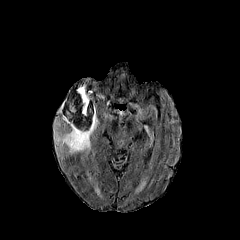
FLAIR MR image.
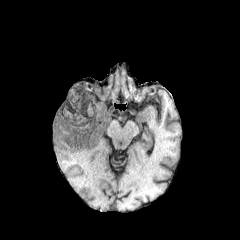
T1-weighted MR.
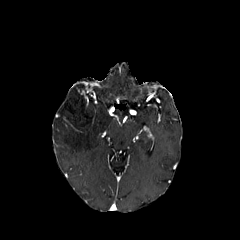
Post-contrast T1-weighted MR image of the same slice.
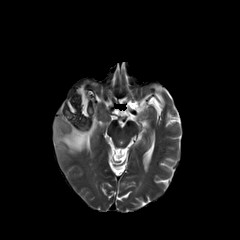
T2-weighted MR image.
Brain; Axial plane
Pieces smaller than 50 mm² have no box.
peritumoral edema: bounding box (x1=54, y1=115, x2=98, y2=153)
enhancing tumor: bounding box (x1=63, y1=116, x2=81, y2=132), (x1=76, y1=87, x2=89, y2=107)
necrotic tumor core: bounding box (x1=62, y1=83, x2=95, y2=130)